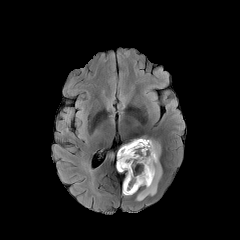
FLAIR MR image.
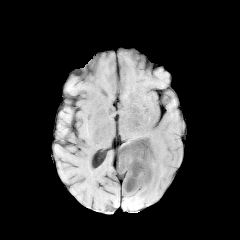
T1-weighted MRI.
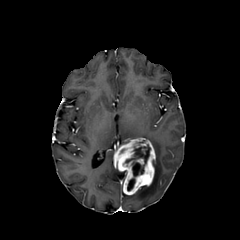
Post-contrast T1-weighted MR image of the same slice.
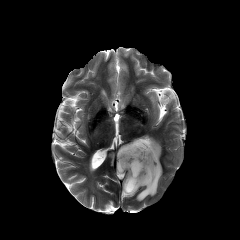
T2-weighted MR image.
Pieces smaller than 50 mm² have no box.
<segmentation>
  <necrotic_tumor_core>bbox=[125, 145, 150, 190]</necrotic_tumor_core>
  <enhancing_tumor>bbox=[114, 138, 155, 194]</enhancing_tumor>
  <peritumoral_edema>bbox=[136, 137, 162, 201]</peritumoral_edema>
</segmentation>